Brain | Image width 240 mm
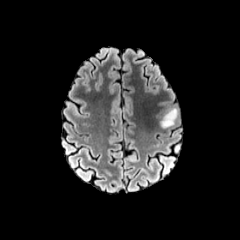
FLAIR MR.
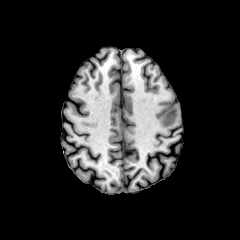
T1-weighted magnetic resonance.
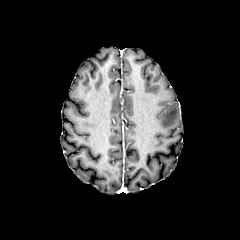
Post-contrast T1-weighted MR of the same slice.
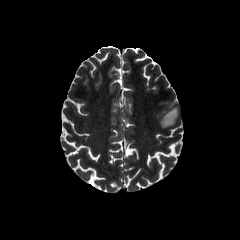
T2-weighted magnetic resonance of the same slice.
peritumoral edema: box=[160, 107, 178, 128]